Slice index 63; Axial view
FLAIR MRI.
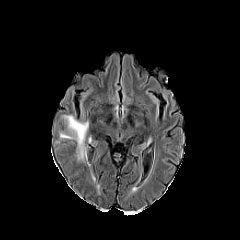
T1-weighted MRI.
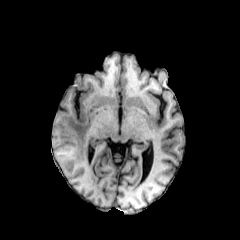
Post-contrast T1-weighted MR.
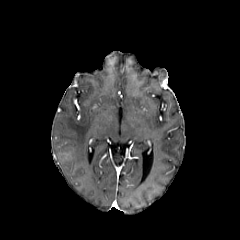
T2-weighted MR image.
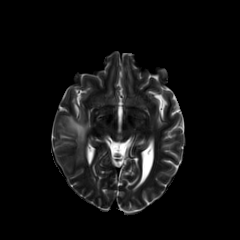
peritumoral edema — bbox=[60, 115, 88, 160]